FLAIR MR image.
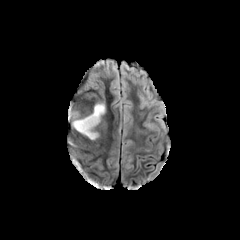
T1-weighted MRI.
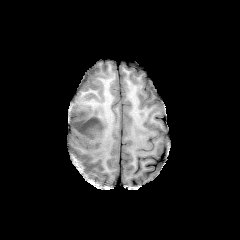
Post-contrast T1-weighted MRI.
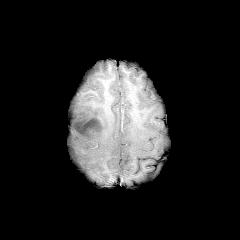
T2-weighted MRI.
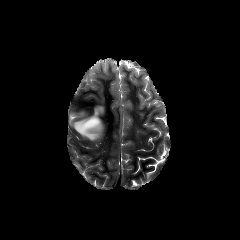
Axial plane
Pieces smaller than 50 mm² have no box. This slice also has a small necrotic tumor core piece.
Findings:
* peritumoral edema: 68, 103, 105, 130
* enhancing tumor: 77, 118, 101, 140